Head; Axial slice; Slice index 61
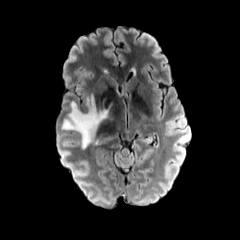
FLAIR magnetic resonance.
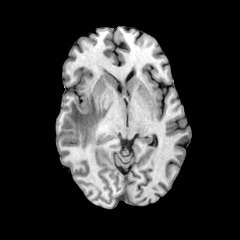
T1-weighted MR image of the same slice.
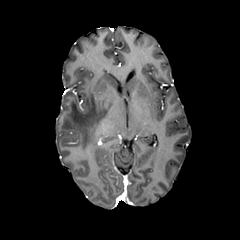
Post-contrast T1-weighted MR.
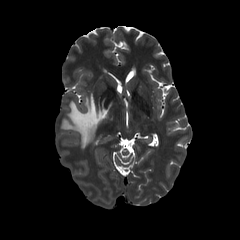
Same slice, T2-weighted MRI.
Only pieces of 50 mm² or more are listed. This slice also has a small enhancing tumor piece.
{"peritumoral_edema": ["box=[61, 94, 113, 148]"]}